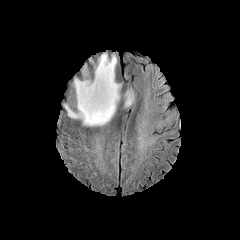
FLAIR MRI.
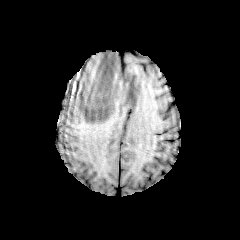
T1-weighted MR image of the same slice.
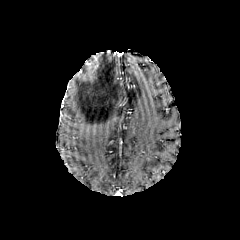
Post-contrast T1-weighted MR image of the same slice.
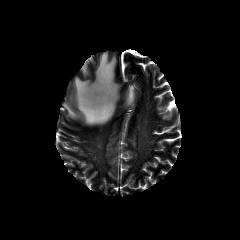
T2-weighted magnetic resonance.
Head
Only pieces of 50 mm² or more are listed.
peritumoral edema = (left=64, top=52, right=121, bottom=126), (left=124, top=88, right=134, bottom=107)